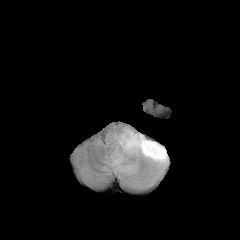
FLAIR MR.
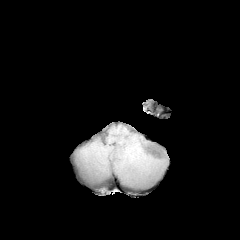
T1-weighted MRI.
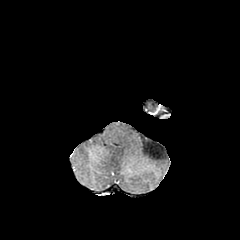
Post-contrast T1-weighted MR image of the same slice.
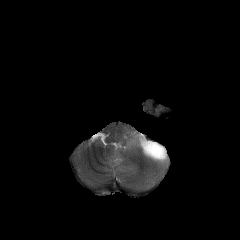
Same slice, T2-weighted MR image.
Head, Axial plane
The peritumoral edema is bounded by (104,127,168,188).